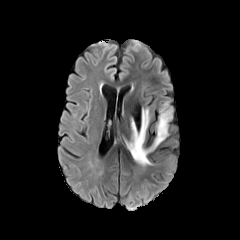
FLAIR magnetic resonance.
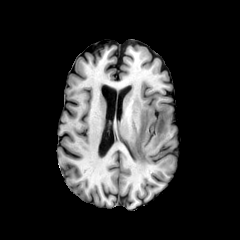
T1-weighted MR image of the same slice.
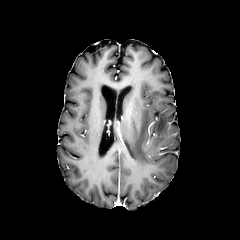
Post-contrast T1-weighted magnetic resonance of the same slice.
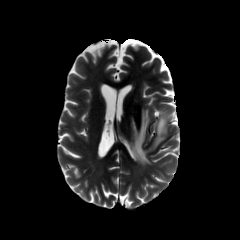
Same slice, T2-weighted MR image.
Head
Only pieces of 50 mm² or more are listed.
peritumoral edema = 126, 108, 172, 166